FLAIR magnetic resonance.
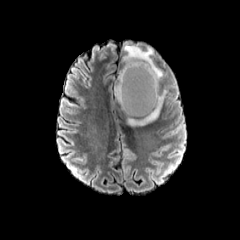
T1-weighted MR image.
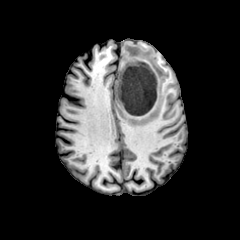
Post-contrast T1-weighted magnetic resonance.
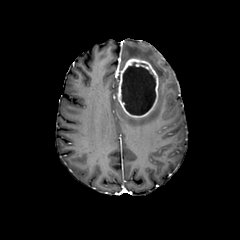
T2-weighted magnetic resonance.
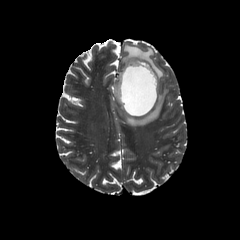
240x240; Axial view
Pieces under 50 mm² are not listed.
{"enhancing_tumor": ["(117,58,158,117)"], "peritumoral_edema": ["(126,88,167,126)", "(123,43,163,80)"], "necrotic_tumor_core": ["(121,62,155,115)"]}